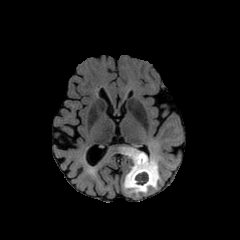
FLAIR MR image.
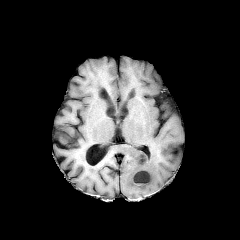
T1-weighted MR.
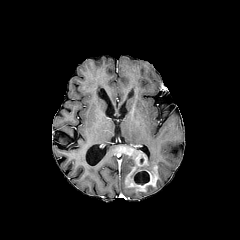
Post-contrast T1-weighted MRI.
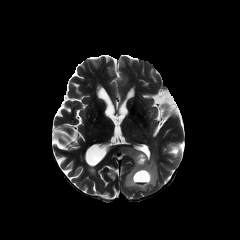
T2-weighted MR image.
Brain.
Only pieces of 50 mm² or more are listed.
- peritumoral edema: bbox=[141, 156, 160, 193]; bbox=[123, 174, 140, 193]
- enhancing tumor: bbox=[122, 147, 158, 191]
- necrotic tumor core: bbox=[134, 171, 149, 184]